FLAIR magnetic resonance.
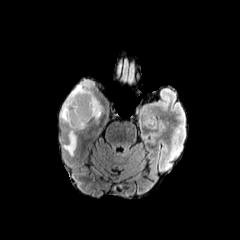
T1-weighted magnetic resonance.
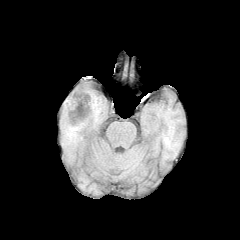
Post-contrast T1-weighted MR image.
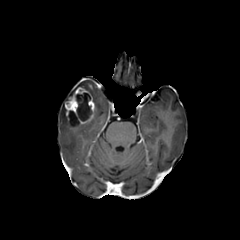
T2-weighted MR.
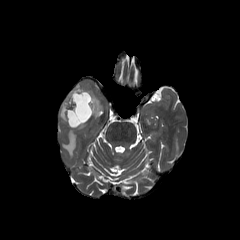
Axial plane. 240x240.
The enhancing tumor is at 65, 87, 95, 128. 2 necrotic tumor core regions are located at 68, 111, 79, 126; 76, 93, 91, 121. 3 peritumoral edema regions are bounded by 65, 81, 102, 124; 63, 123, 86, 156; 60, 102, 67, 124.